Axial plane | 240x240
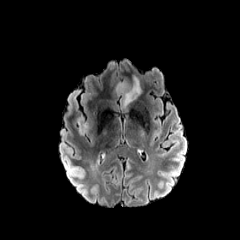
FLAIR magnetic resonance.
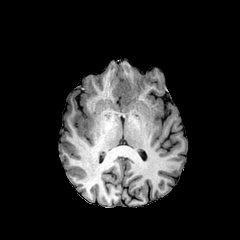
T1-weighted MR.
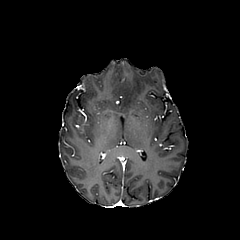
Same slice, post-contrast T1-weighted MR.
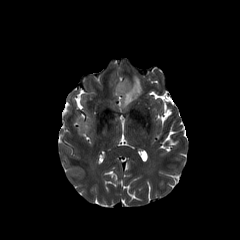
T2-weighted MR image of the same slice.
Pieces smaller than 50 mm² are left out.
enhancing tumor: bbox=[79, 122, 87, 132] | peritumoral edema: bbox=[116, 76, 141, 107]